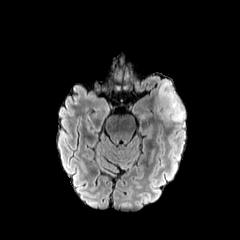
FLAIR magnetic resonance.
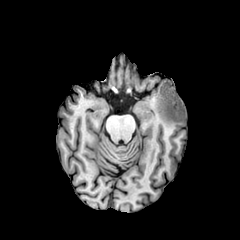
Same slice, T1-weighted MRI.
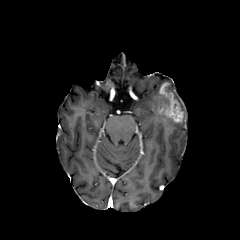
Post-contrast T1-weighted magnetic resonance.
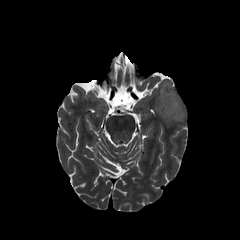
T2-weighted MRI.
Axial view
<segmentation>
  <enhancing_tumor>159, 82, 183, 122</enhancing_tumor>
  <peritumoral_edema>162, 80, 185, 125; 155, 90, 172, 122</peritumoral_edema>
</segmentation>